FLAIR MR image.
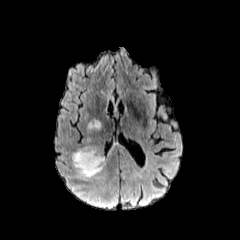
T1-weighted MR image.
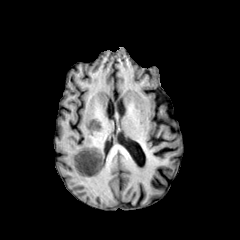
Post-contrast T1-weighted magnetic resonance.
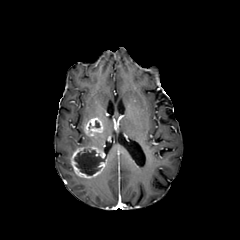
T2-weighted magnetic resonance.
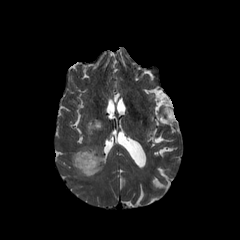
Brain
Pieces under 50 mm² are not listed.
peritumoral edema at <bbox>74, 169, 107, 183</bbox>
enhancing tumor at <bbox>84, 117, 103, 136</bbox>, <bbox>71, 145, 106, 178</bbox>
necrotic tumor core at <bbox>74, 149, 104, 175</bbox>